Slice 58/155
FLAIR MR.
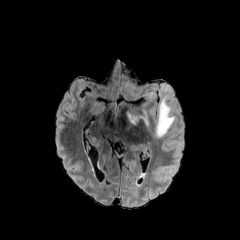
T1-weighted MRI.
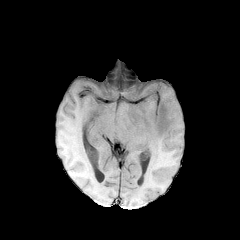
Post-contrast T1-weighted MR image.
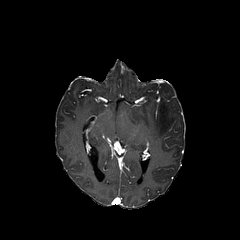
T2-weighted MRI.
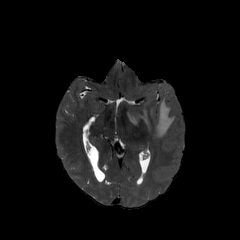
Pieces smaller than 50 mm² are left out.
peritumoral edema: x1=156 y1=94 x2=175 y2=137, x1=126 y1=109 x2=148 y2=125